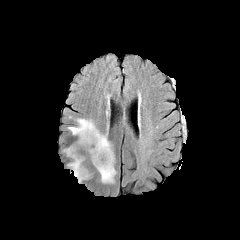
FLAIR MR.
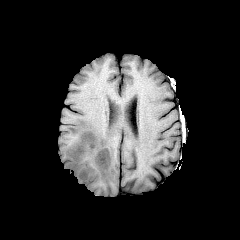
T1-weighted MR image of the same slice.
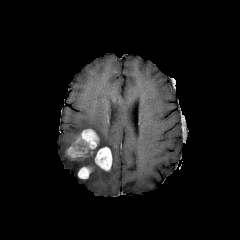
Post-contrast T1-weighted MR image of the same slice.
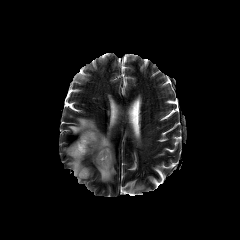
T2-weighted MR image.
Axial plane
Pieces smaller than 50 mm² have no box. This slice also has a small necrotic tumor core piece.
peritumoral edema: box=[68, 118, 116, 182]; box=[68, 157, 84, 183] | enhancing tumor: box=[67, 129, 99, 159]; box=[77, 166, 91, 179]; box=[94, 147, 112, 170]